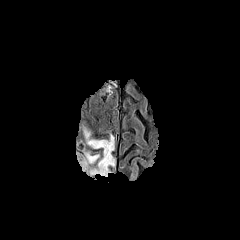
FLAIR MR image.
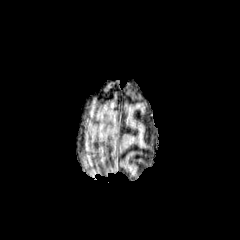
T1-weighted magnetic resonance.
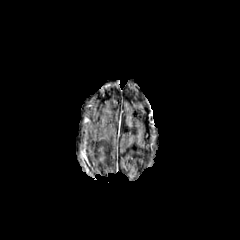
Same slice, post-contrast T1-weighted magnetic resonance.
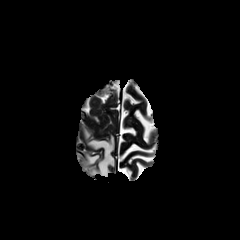
T2-weighted MRI.
Head.
2 peritumoral edema regions are located at <box>84,152,99,162</box>, <box>81,130,114,176</box>.